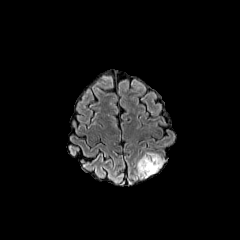
FLAIR MR image.
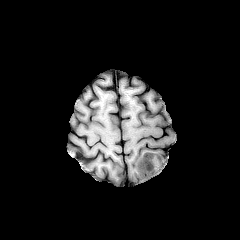
T1-weighted MR of the same slice.
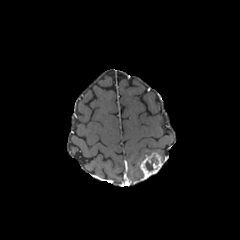
Post-contrast T1-weighted magnetic resonance.
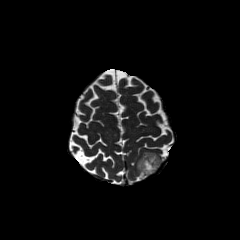
T2-weighted MR image of the same slice.
Brain.
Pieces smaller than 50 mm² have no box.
enhancing tumor: (left=139, top=153, right=162, bottom=177)
peritumoral edema: (left=137, top=152, right=154, bottom=177)
necrotic tumor core: (left=145, top=155, right=158, bottom=171)